FLAIR MR image.
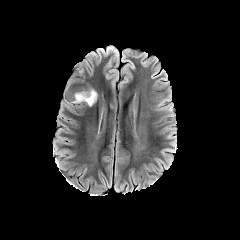
T1-weighted MR image.
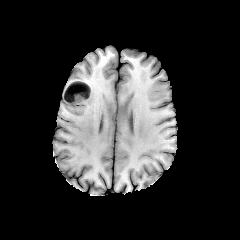
Post-contrast T1-weighted MRI.
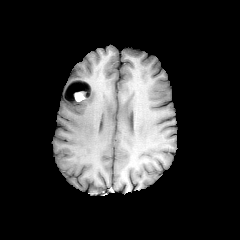
T2-weighted magnetic resonance.
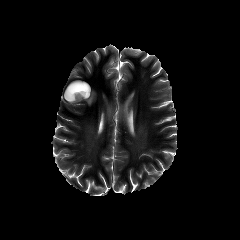
Brain. Axial plane.
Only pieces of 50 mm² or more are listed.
The largest peritumoral edema region is located at 65,90,96,106. The enhancing tumor is at 64,79,92,104. The necrotic tumor core is located at 66,81,90,99.